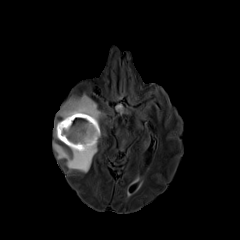
FLAIR MRI.
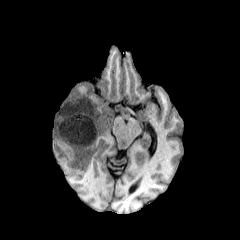
T1-weighted MR image.
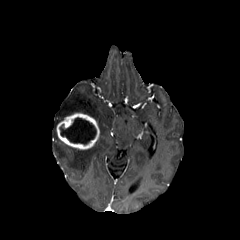
Post-contrast T1-weighted MR of the same slice.
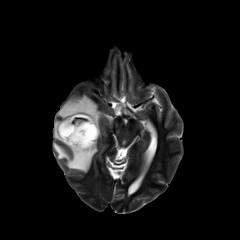
T2-weighted MR of the same slice.
Head. Axial slice. 240x240 px.
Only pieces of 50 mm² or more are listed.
peritumoral edema: <box>53,140,98,172</box>, <box>57,94,103,127</box>, <box>54,121,60,139</box> | necrotic tumor core: <box>59,117,96,144</box> | enhancing tumor: <box>56,112,99,149</box>